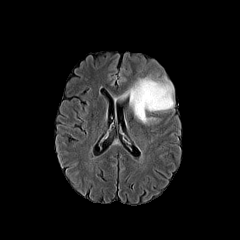
FLAIR MRI.
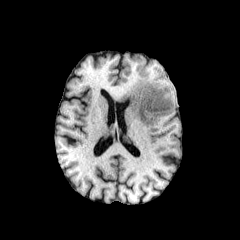
T1-weighted MR image.
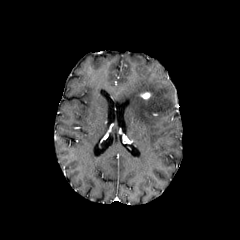
Post-contrast T1-weighted magnetic resonance of the same slice.
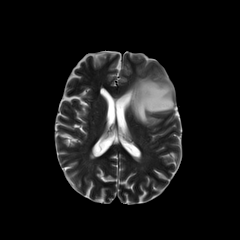
Same slice, T2-weighted MRI.
240x240 px.
The enhancing tumor appears at [140,92,150,99]. The peritumoral edema lies within [128,77,174,124].